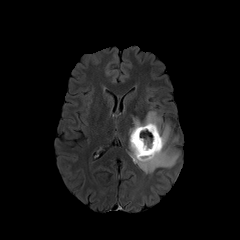
FLAIR magnetic resonance.
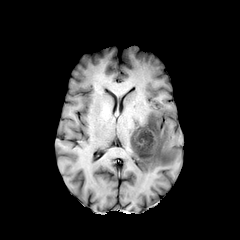
T1-weighted MR image of the same slice.
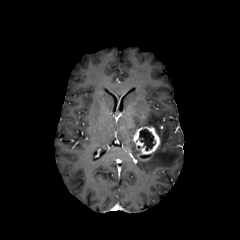
Post-contrast T1-weighted magnetic resonance of the same slice.
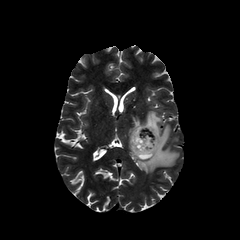
Same slice, T2-weighted MRI.
Axial view; Brain
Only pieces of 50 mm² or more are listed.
enhancing tumor at box(132, 126, 160, 160)
necrotic tumor core at box(139, 129, 155, 150)
peritumoral edema at box(129, 110, 179, 173)